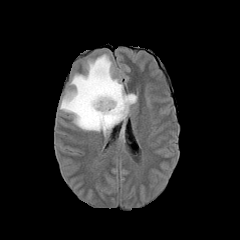
FLAIR MR.
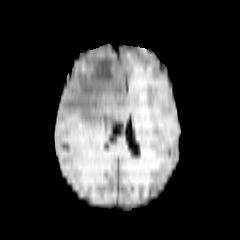
T1-weighted MR.
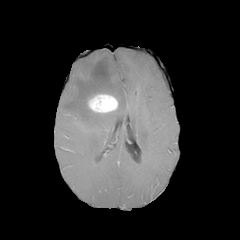
Post-contrast T1-weighted MR image.
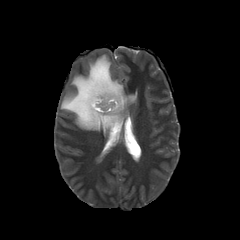
Same slice, T2-weighted MR.
Brain; Axial plane
peritumoral edema at bbox=[60, 54, 137, 140]
enhancing tumor at bbox=[87, 93, 118, 113]